FLAIR MR image.
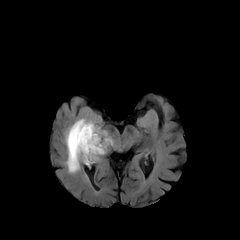
T1-weighted MR image.
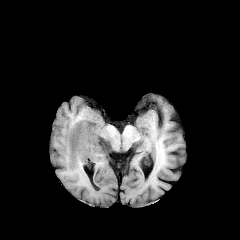
Post-contrast T1-weighted MR.
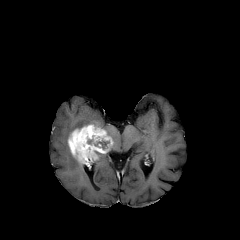
T2-weighted MR.
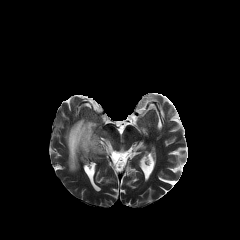
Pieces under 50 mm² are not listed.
<segmentation>
  <necrotic_tumor_core>85, 135, 110, 149</necrotic_tumor_core>
  <enhancing_tumor>68, 123, 112, 167</enhancing_tumor>
  <peritumoral_edema>65, 117, 100, 173</peritumoral_edema>
</segmentation>